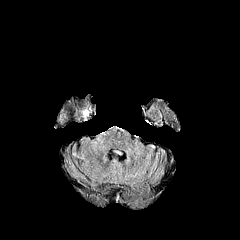
FLAIR magnetic resonance.
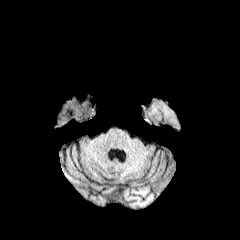
T1-weighted magnetic resonance.
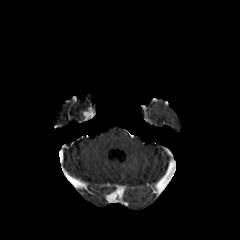
Same slice, post-contrast T1-weighted magnetic resonance.
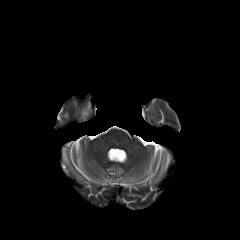
Same slice, T2-weighted MRI.
Brain
enhancing tumor: 82 106 93 120